FLAIR MR.
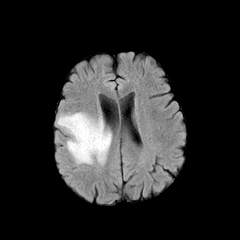
T1-weighted MR.
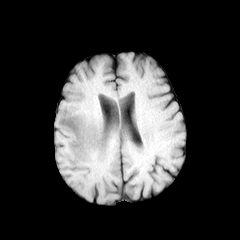
Post-contrast T1-weighted magnetic resonance.
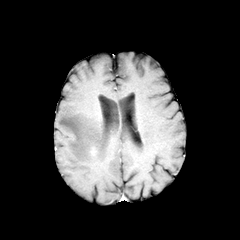
T2-weighted MR image.
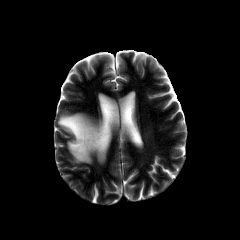
Head | 240x240 px | Axial slice
peritumoral edema — (57, 112, 111, 163)